FLAIR MRI.
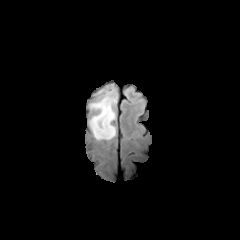
T1-weighted MR image.
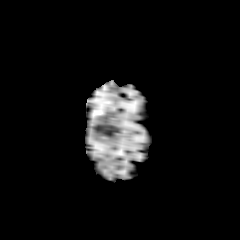
Post-contrast T1-weighted MR.
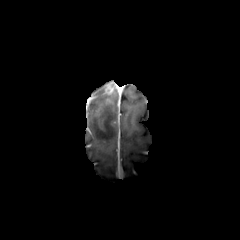
T2-weighted magnetic resonance.
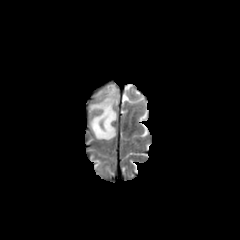
240x240 px, Axial plane
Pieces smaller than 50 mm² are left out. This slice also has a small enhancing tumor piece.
peritumoral edema: [x1=89, y1=90, x2=116, y2=141]